Image covers 240 mm x 240 mm | Slice 117 of 155 | 240x240
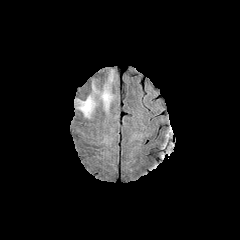
FLAIR magnetic resonance.
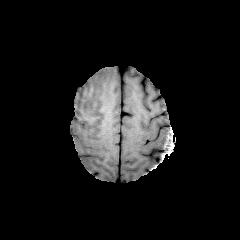
T1-weighted MR image of the same slice.
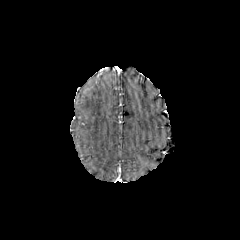
Post-contrast T1-weighted MR.
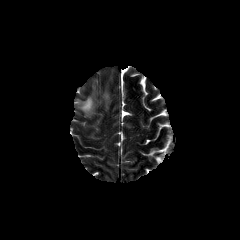
T2-weighted magnetic resonance.
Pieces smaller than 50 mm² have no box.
<segmentation>
  <peritumoral_edema>75 83 112 117</peritumoral_edema>
</segmentation>